240x240 px; Brain; Image width 240 mm, 1.00 mm slice spacing; Axial slice
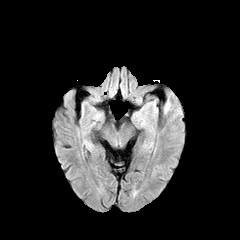
FLAIR MRI.
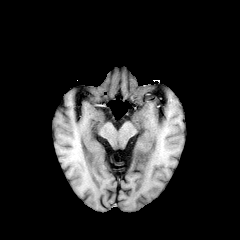
T1-weighted MRI of the same slice.
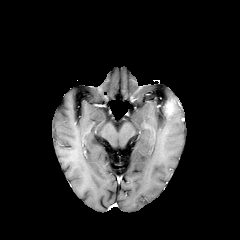
Same slice, post-contrast T1-weighted MR.
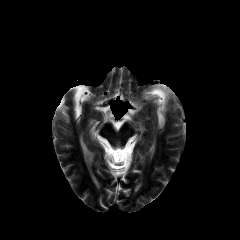
T2-weighted MR.
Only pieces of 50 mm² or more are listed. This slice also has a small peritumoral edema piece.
Segmented structures:
• enhancing tumor: x1=165 y1=103 x2=171 y2=111